Brain
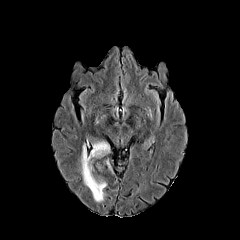
FLAIR MR.
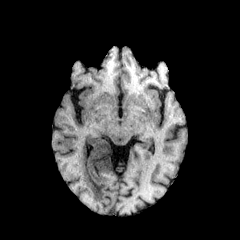
T1-weighted MR image of the same slice.
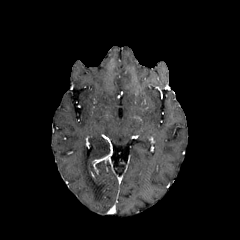
Same slice, post-contrast T1-weighted MRI.
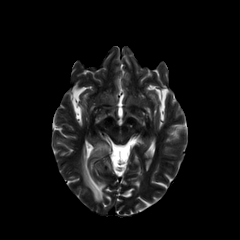
T2-weighted MR image of the same slice.
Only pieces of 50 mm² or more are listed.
The 2 largest peritumoral edema regions appear at box=[81, 139, 110, 202]; box=[104, 158, 114, 173].